Image width 240 mm | Head
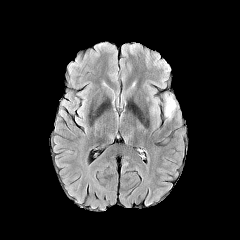
FLAIR MRI.
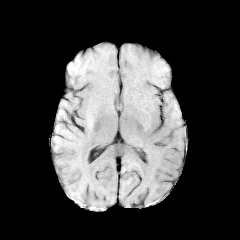
T1-weighted MRI.
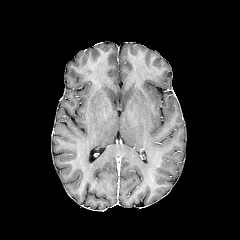
Post-contrast T1-weighted magnetic resonance of the same slice.
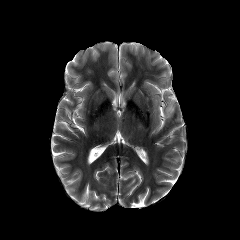
T2-weighted magnetic resonance of the same slice.
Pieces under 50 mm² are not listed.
Annotated regions:
* peritumoral edema: [164, 93, 176, 119]